FLAIR magnetic resonance.
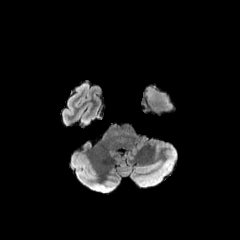
T1-weighted MR image.
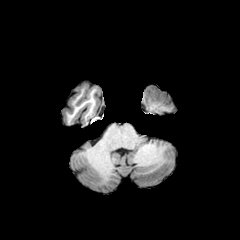
Post-contrast T1-weighted magnetic resonance.
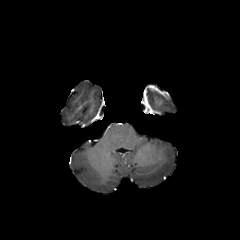
T2-weighted magnetic resonance.
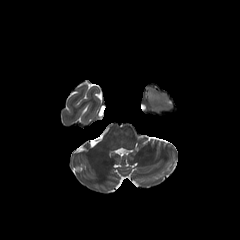
240x240 px | Axial view
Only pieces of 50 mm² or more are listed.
* peritumoral edema: 145, 89, 171, 107
* enhancing tumor: 155, 96, 162, 104